FLAIR MR.
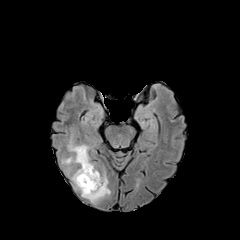
T1-weighted MR image.
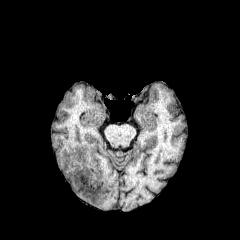
Post-contrast T1-weighted MR.
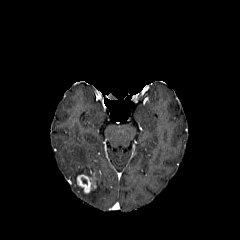
T2-weighted MR image.
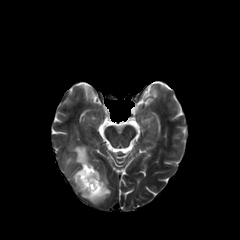
Image size 240x240
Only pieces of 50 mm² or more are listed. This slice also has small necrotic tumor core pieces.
The peritumoral edema is bounded by 62, 140, 110, 203. The enhancing tumor is located at 77, 170, 96, 193.